FLAIR MRI.
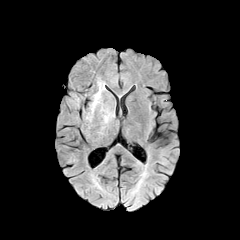
T1-weighted MRI.
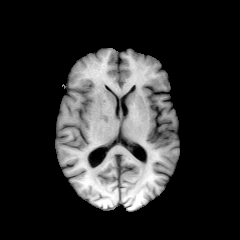
Post-contrast T1-weighted magnetic resonance.
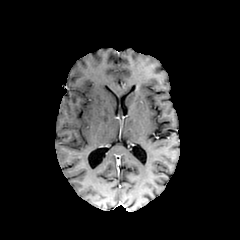
T2-weighted MR.
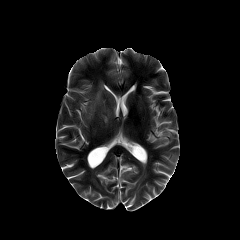
Axial slice
peritumoral_edema:
  - left=103, top=110, right=110, bottom=123
  - left=91, top=82, right=104, bottom=112